Brain.
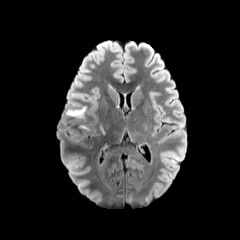
FLAIR MR image.
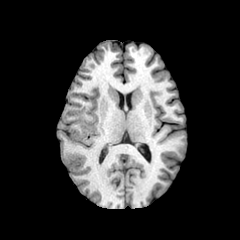
T1-weighted MRI.
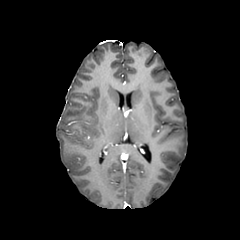
Post-contrast T1-weighted MRI.
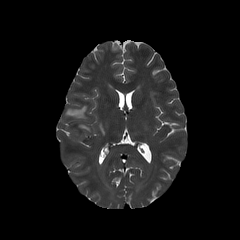
T2-weighted MR image.
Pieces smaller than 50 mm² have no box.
peritumoral edema: bounding box 99:123:106:136, 65:106:86:118